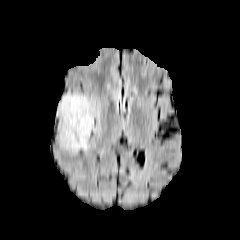
FLAIR MRI.
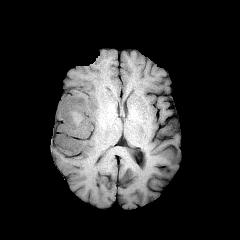
Same slice, T1-weighted MR image.
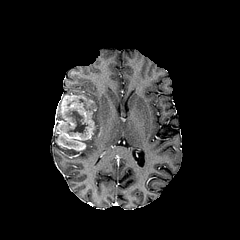
Post-contrast T1-weighted MR.
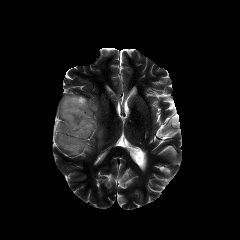
T2-weighted MR.
Brain
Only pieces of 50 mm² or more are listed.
Segmented structures:
- peritumoral edema: l=92, t=101, r=98, b=121
- necrotic tumor core: l=67, t=111, r=87, b=133
- enhancing tumor: l=56, t=94, r=95, b=150